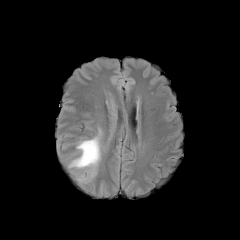
FLAIR magnetic resonance.
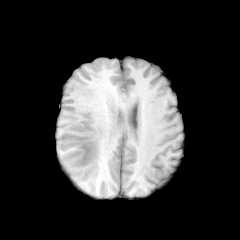
T1-weighted MR image of the same slice.
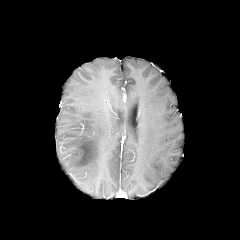
Post-contrast T1-weighted MR.
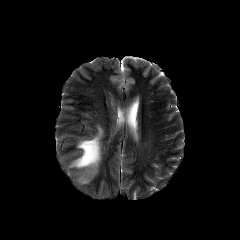
T2-weighted MRI of the same slice.
Axial plane
peritumoral edema at <box>69,128,101,182</box>